FLAIR magnetic resonance.
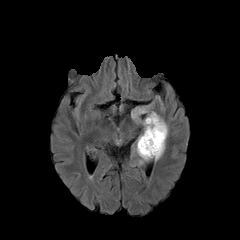
T1-weighted magnetic resonance.
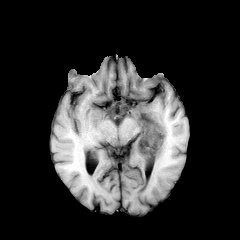
Post-contrast T1-weighted MR image.
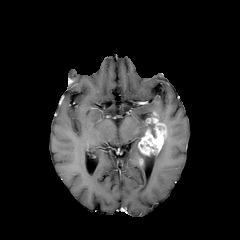
T2-weighted magnetic resonance.
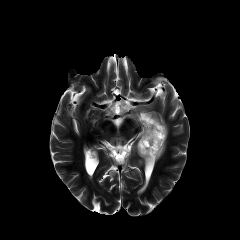
Head | Axial slice
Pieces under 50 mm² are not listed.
• necrotic tumor core: x1=148 y1=122 x2=156 y2=137
• peritumoral edema: x1=155 y1=138 x2=166 y2=160, x1=130 y1=106 x2=154 y2=164, x1=157 y1=115 x2=168 y2=136
• enhancing tumor: x1=138 y1=112 x2=166 y2=156